FLAIR MRI.
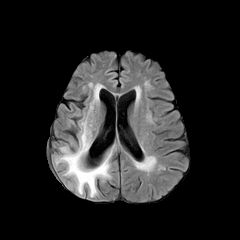
T1-weighted MR.
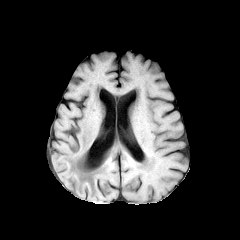
Post-contrast T1-weighted MR image.
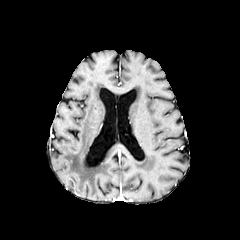
T2-weighted MR.
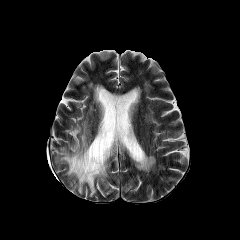
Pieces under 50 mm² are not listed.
peritumoral edema — region(88, 82, 101, 111); region(55, 116, 114, 196)